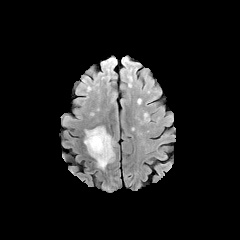
FLAIR magnetic resonance.
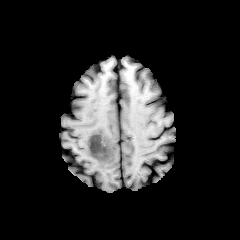
Same slice, T1-weighted MR image.
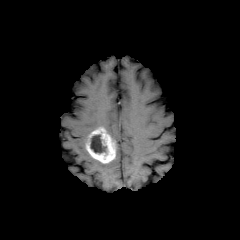
Post-contrast T1-weighted MR image.
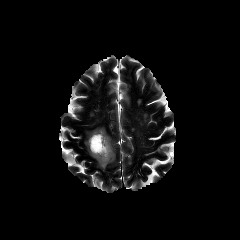
Same slice, T2-weighted magnetic resonance.
Axial view. 240x240. Head.
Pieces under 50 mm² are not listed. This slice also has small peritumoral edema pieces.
necrotic tumor core: bounding box rect(90, 135, 106, 153)
enhancing tumor: bounding box rect(85, 127, 115, 163)